FLAIR MRI.
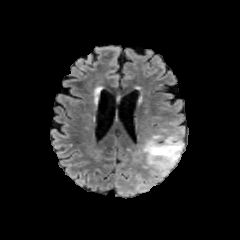
T1-weighted magnetic resonance.
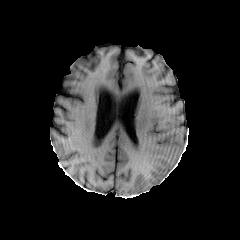
Post-contrast T1-weighted magnetic resonance.
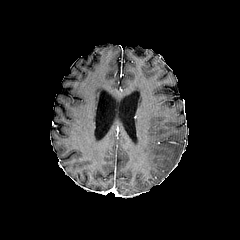
T2-weighted MR image.
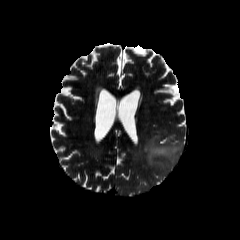
peritumoral edema: bbox=[142, 135, 183, 173]